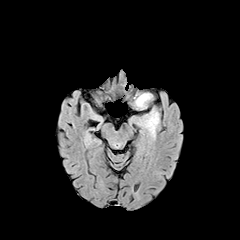
FLAIR magnetic resonance.
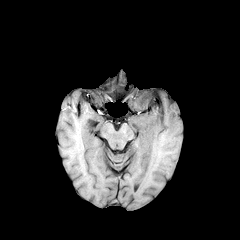
T1-weighted MR of the same slice.
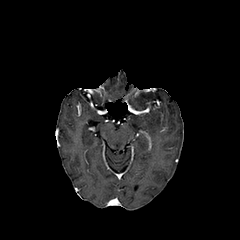
Same slice, post-contrast T1-weighted MR.
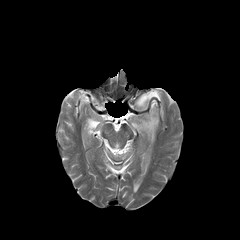
T2-weighted MR image.
Axial view
<segmentation>
  <peritumoral_edema>[136,93,151,106], [144,114,158,137]</peritumoral_edema>
</segmentation>